Axial view. Slice 83 of 155. Brain.
FLAIR MRI.
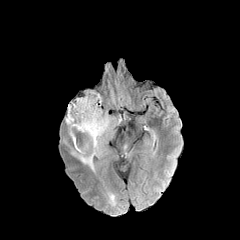
T1-weighted MR image.
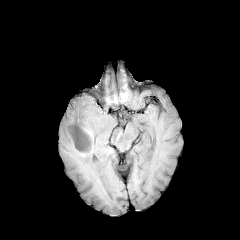
Post-contrast T1-weighted MRI.
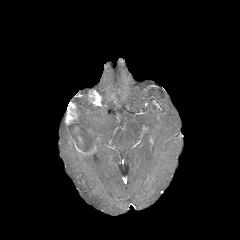
T2-weighted MR.
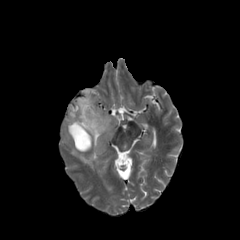
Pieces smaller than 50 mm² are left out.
The largest necrotic tumor core region appears at [x1=72, y1=131, x2=90, y2=150]. The 2 largest enhancing tumor regions are bounded by [x1=87, y1=90, x2=101, y2=105], [x1=65, y1=102, x2=93, y2=154]. The largest peritumoral edema region lies within [x1=73, y1=95, x2=111, y2=171].